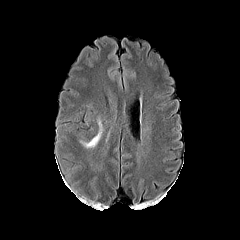
FLAIR MRI.
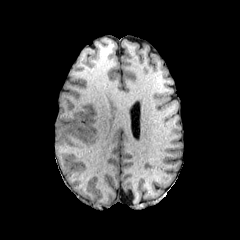
Same slice, T1-weighted MR image.
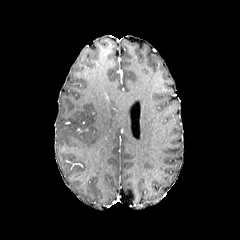
Post-contrast T1-weighted MR image.
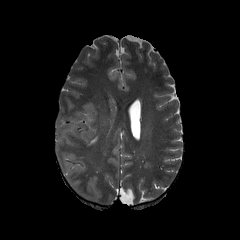
T2-weighted MR.
Brain
Annotated regions:
* peritumoral edema: bbox(80, 121, 103, 148)